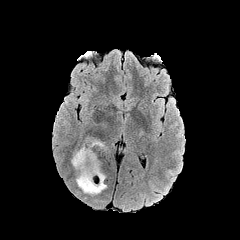
FLAIR MR.
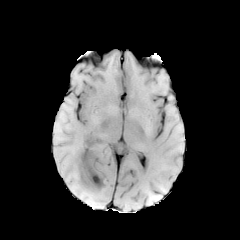
T1-weighted magnetic resonance of the same slice.
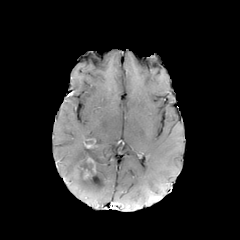
Post-contrast T1-weighted MR of the same slice.
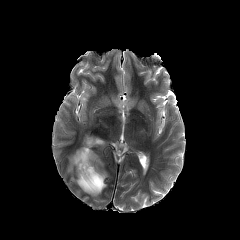
Same slice, T2-weighted MRI.
Brain, 240x240, Axial slice
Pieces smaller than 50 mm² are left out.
• peritumoral edema: (70,144,106,195), (93,138,105,149)
• enhancing tumor: (87,157,95,173), (84,138,95,148), (77,170,92,178)
• necrotic tumor core: (77,156,94,177)